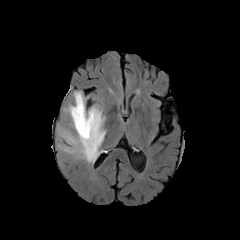
FLAIR MR image.
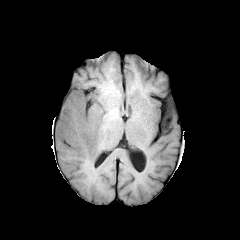
Same slice, T1-weighted MR.
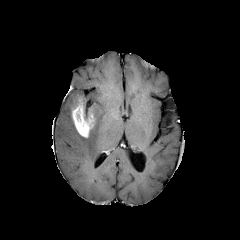
Same slice, post-contrast T1-weighted MR image.
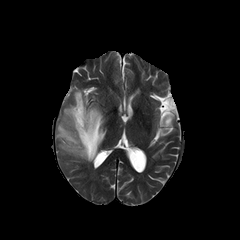
Same slice, T2-weighted MRI.
Head | Image size 240x240
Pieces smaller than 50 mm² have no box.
peritumoral_edema:
  - 57,90,106,163
enhancing_tumor:
  - 71,95,95,137